Axial slice; Slice index 62; Image width 240 mm; Head
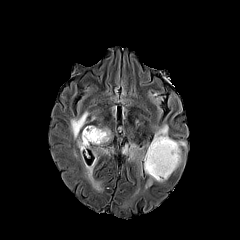
FLAIR MR.
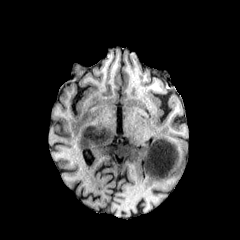
T1-weighted magnetic resonance.
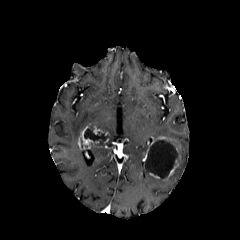
Post-contrast T1-weighted MR.
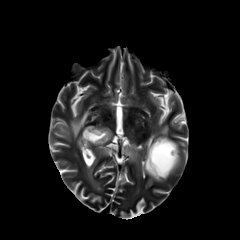
T2-weighted MRI.
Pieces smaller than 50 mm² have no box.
peritumoral edema = <box>71,111,88,138</box>, <box>87,145,115,192</box>, <box>172,140,186,163</box>, <box>121,142,143,161</box>, <box>145,176,163,189</box>, <box>154,124,168,138</box>
enhancing tumor = <box>93,126,107,135</box>, <box>163,159,178,180</box>, <box>78,126,99,149</box>, <box>143,136,171,161</box>
necrotic tumor core = <box>144,140,178,178</box>, <box>84,126,107,141</box>